240x240. Brain. Axial plane.
FLAIR MRI.
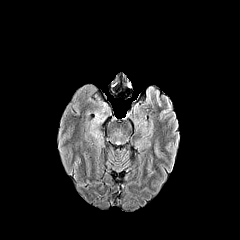
T1-weighted MRI.
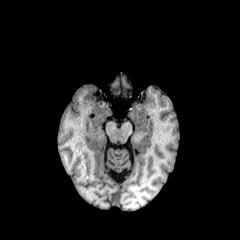
Post-contrast T1-weighted magnetic resonance.
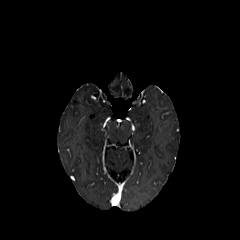
T2-weighted magnetic resonance.
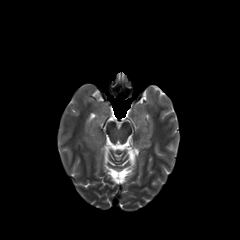
peritumoral edema at x1=90 y1=131 x2=101 y2=143